Image size 240x240
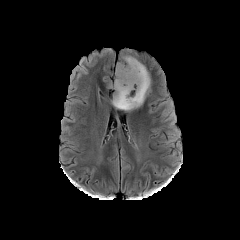
FLAIR MR image.
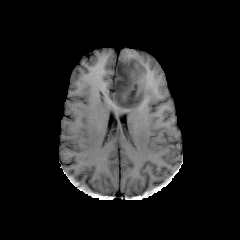
T1-weighted MR.
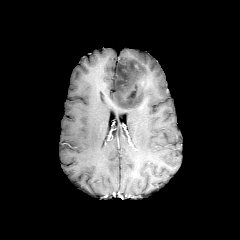
Post-contrast T1-weighted magnetic resonance of the same slice.
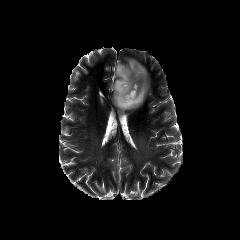
T2-weighted MR of the same slice.
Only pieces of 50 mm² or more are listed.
{"peritumoral_edema": ["(left=112, top=56, right=150, bottom=110)"], "necrotic_tumor_core": ["(left=113, top=63, right=143, bottom=106)"]}